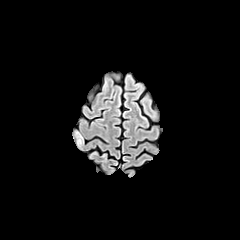
FLAIR MR.
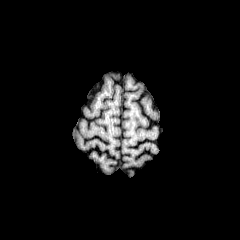
T1-weighted MR image.
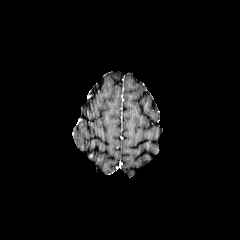
Post-contrast T1-weighted magnetic resonance.
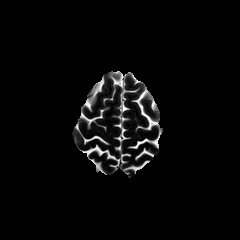
Same slice, T2-weighted MR image.
Head
peritumoral_edema:
  - <bbox>75, 133, 83, 145</bbox>